Axial plane | Head | Image width 240 mm | Slice 107/155
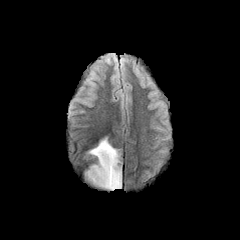
FLAIR MR.
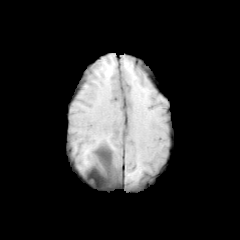
T1-weighted MR of the same slice.
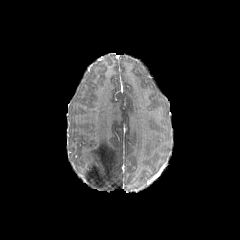
Same slice, post-contrast T1-weighted magnetic resonance.
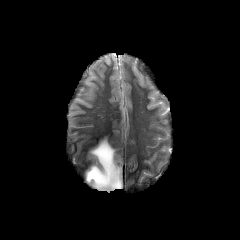
Same slice, T2-weighted MR.
peritumoral edema — 85, 137, 121, 190